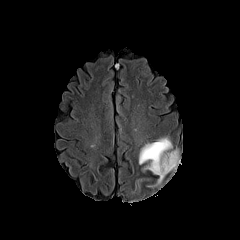
FLAIR magnetic resonance.
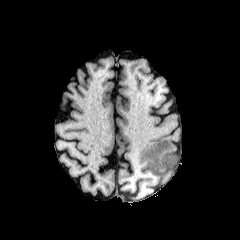
Same slice, T1-weighted magnetic resonance.
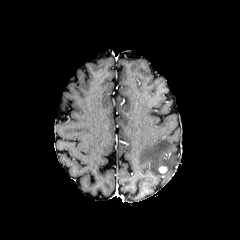
Post-contrast T1-weighted MR image.
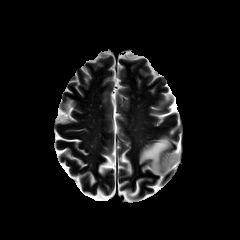
T2-weighted magnetic resonance.
Head. Image size 240x240.
<segmentation>
  <peritumoral_edema>[139,137,180,184]</peritumoral_edema>
  <enhancing_tumor>[159,166,167,173]</enhancing_tumor>
</segmentation>